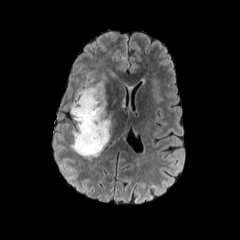
FLAIR MRI.
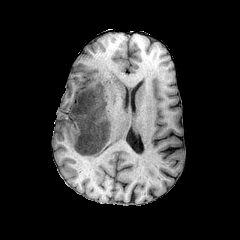
Same slice, T1-weighted MRI.
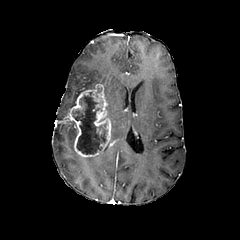
Post-contrast T1-weighted magnetic resonance.
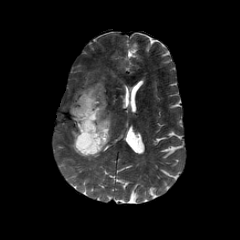
T2-weighted MR image.
Brain, Image size 240x240
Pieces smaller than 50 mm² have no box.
necrotic tumor core = box=[73, 92, 106, 155]
enhancing tumor = box=[70, 83, 111, 157]
peritumoral edema = box=[69, 76, 105, 108]; box=[108, 113, 114, 135]